Image size 240x240; Head; Slice index 117
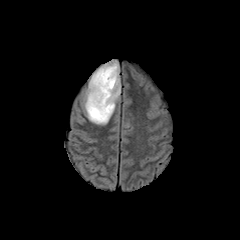
FLAIR magnetic resonance.
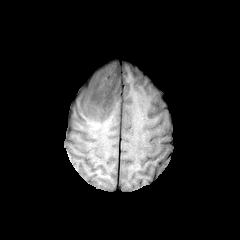
T1-weighted MR.
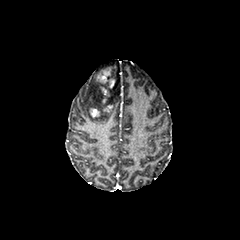
Post-contrast T1-weighted MRI of the same slice.
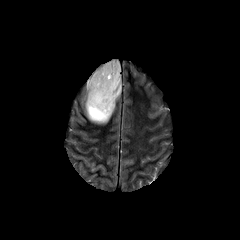
T2-weighted MR image of the same slice.
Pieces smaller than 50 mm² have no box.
Segmented structures:
- peritumoral edema: 84:61:120:124
- enhancing tumor: 94:66:116:103, 89:108:100:117